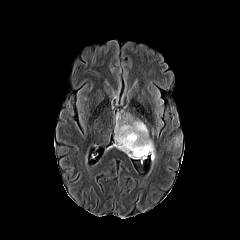
FLAIR MR image.
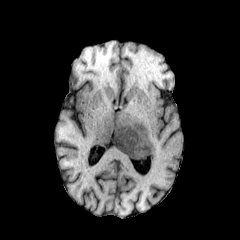
T1-weighted MR.
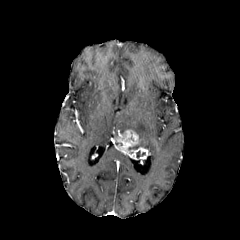
Same slice, post-contrast T1-weighted MR.
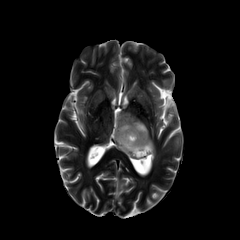
T2-weighted MR.
Head. Image size 240x240.
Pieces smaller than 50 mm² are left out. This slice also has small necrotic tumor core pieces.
The peritumoral edema lies within (115, 113, 155, 160). The enhancing tumor is bounded by (114, 129, 150, 159).